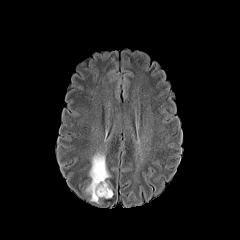
FLAIR MR image.
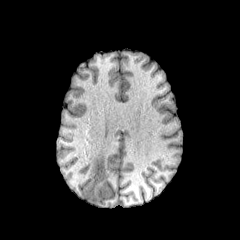
Same slice, T1-weighted MRI.
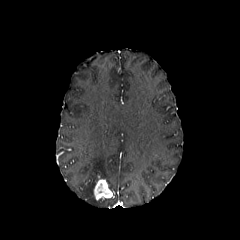
Post-contrast T1-weighted magnetic resonance.
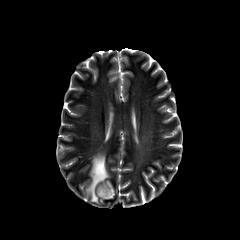
T2-weighted magnetic resonance.
Head.
necrotic tumor core — l=97, t=183, r=110, b=195
enhancing tumor — l=94, t=176, r=112, b=200
peritumoral edema — l=85, t=152, r=111, b=203